240x240 px. Axial view.
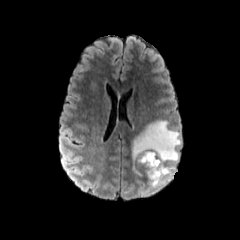
FLAIR MR image.
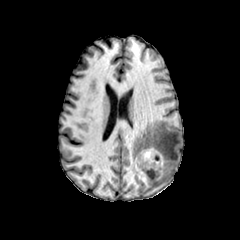
T1-weighted MR image.
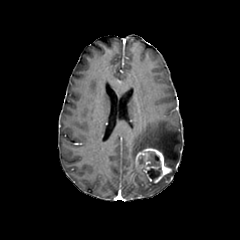
Post-contrast T1-weighted magnetic resonance.
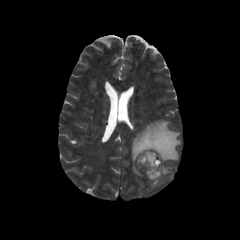
Same slice, T2-weighted MRI.
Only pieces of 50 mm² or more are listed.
necrotic_tumor_core:
  - box(147, 151, 161, 180)
enhancing_tumor:
  - box(135, 147, 171, 183)
peritumoral_edema:
  - box(132, 120, 181, 188)